Axial plane. Head.
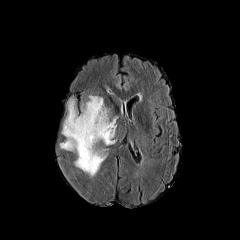
FLAIR MR.
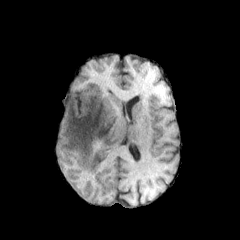
T1-weighted MRI.
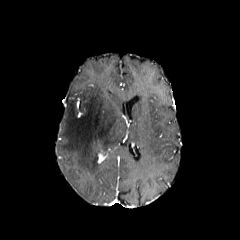
Post-contrast T1-weighted MR of the same slice.
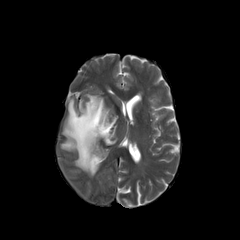
T2-weighted MR.
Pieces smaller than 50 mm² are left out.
{"peritumoral_edema": ["(60,95,117,176)"], "enhancing_tumor": ["(98,151,106,163)"]}